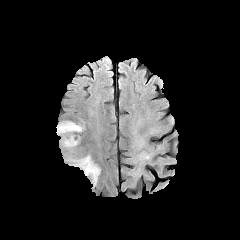
FLAIR MR.
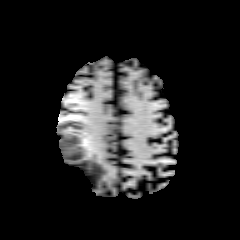
Same slice, T1-weighted magnetic resonance.
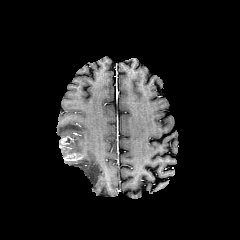
Post-contrast T1-weighted magnetic resonance.
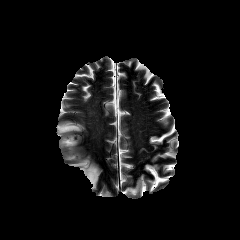
Same slice, T2-weighted magnetic resonance.
Axial plane
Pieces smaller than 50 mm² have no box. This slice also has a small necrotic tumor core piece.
The 2 largest peritumoral edema regions are located at [56,121,84,151], [69,155,100,186]. The enhancing tumor appears at [59,136,83,161].